FLAIR MRI.
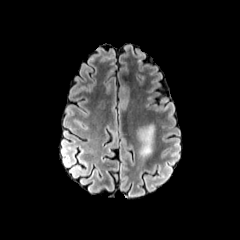
T1-weighted MR image.
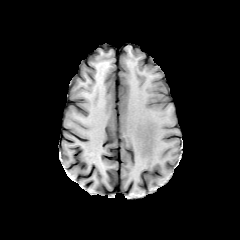
Post-contrast T1-weighted MR image.
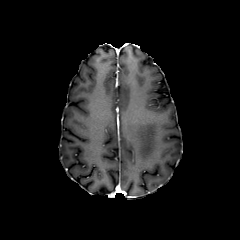
T2-weighted MR image.
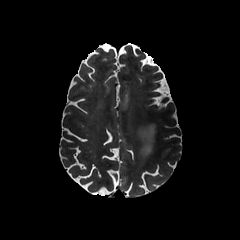
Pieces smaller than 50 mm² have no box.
peritumoral_edema:
  - box(137, 123, 155, 158)